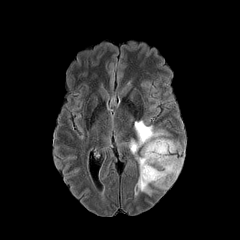
FLAIR MR.
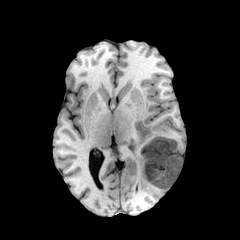
T1-weighted MR image.
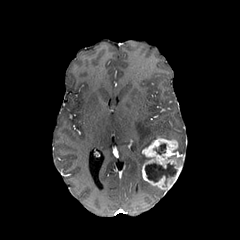
Same slice, post-contrast T1-weighted MR image.
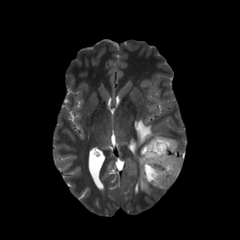
T2-weighted MR image.
Axial view.
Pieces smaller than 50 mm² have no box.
Segmented structures:
* peritumoral edema: 131,120,166,195
* necrotic tumor core: 154,144,166,154; 145,163,176,181
* enhancing tumor: 142,136,184,190